Brain | Slice 82/155
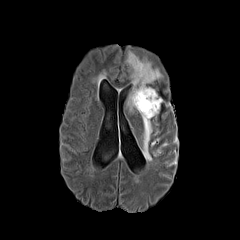
FLAIR MR image.
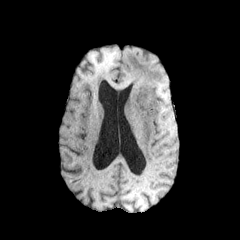
T1-weighted magnetic resonance.
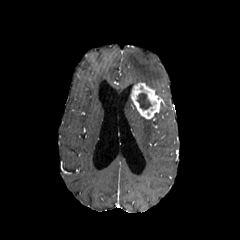
Post-contrast T1-weighted magnetic resonance of the same slice.
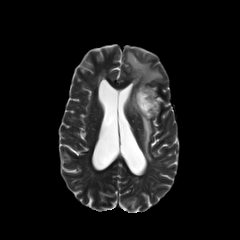
Same slice, T2-weighted MRI.
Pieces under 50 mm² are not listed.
Findings:
* necrotic tumor core: (x1=136, y1=93, x2=152, y2=110)
* peritumoral edema: (x1=127, y1=94, x2=134, y2=111), (x1=126, y1=50, x2=162, y2=85), (x1=142, y1=117, x2=152, y2=161)
* enhancing tumor: (x1=130, y1=82, x2=162, y2=118)